Brain | Axial view | Image width 240 mm, 1.00 mm slice spacing
FLAIR MR.
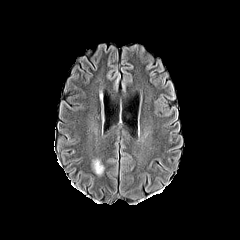
T1-weighted magnetic resonance.
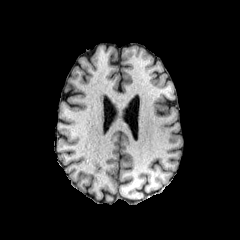
Post-contrast T1-weighted MR.
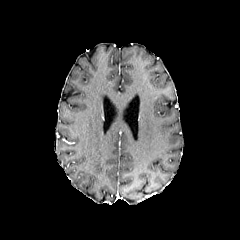
T2-weighted MRI.
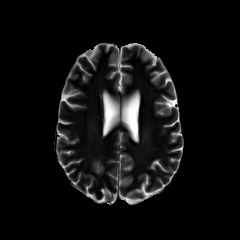
Findings:
• peritumoral edema: rect(93, 160, 103, 174)